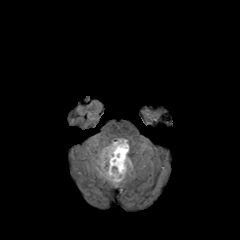
FLAIR MR.
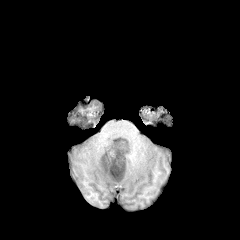
T1-weighted MR image of the same slice.
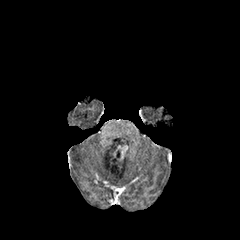
Same slice, post-contrast T1-weighted MR image.
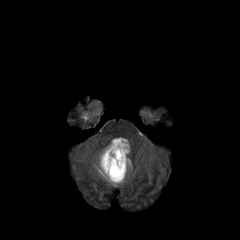
T2-weighted MRI.
Brain
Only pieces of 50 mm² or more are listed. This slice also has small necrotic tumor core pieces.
peritumoral edema: (94, 138, 133, 186)
enhancing tumor: (105, 143, 128, 178)